Slice 87/155 | Image size 240x240
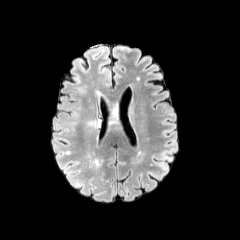
FLAIR MR image.
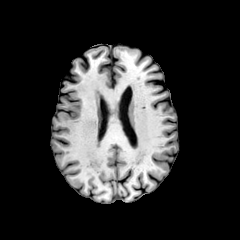
T1-weighted magnetic resonance.
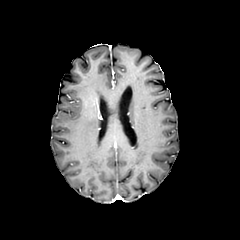
Post-contrast T1-weighted MRI.
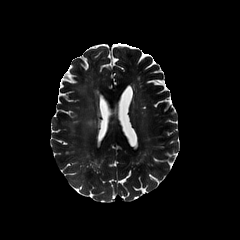
T2-weighted MR image.
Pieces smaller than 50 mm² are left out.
The 2 largest peritumoral edema regions are bounded by x1=77, y1=85, x2=87, y2=94; x1=85, y1=118, x2=99, y2=127.